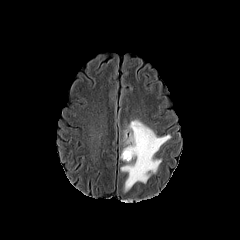
FLAIR MR image.
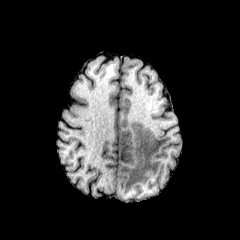
T1-weighted MRI.
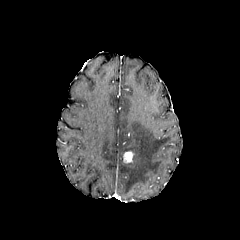
Post-contrast T1-weighted MR image.
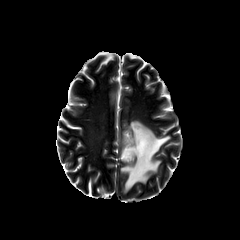
Same slice, T2-weighted MR.
Brain. 240x240 px.
peritumoral_edema:
  - region(120, 120, 170, 192)
enhancing_tumor:
  - region(123, 151, 134, 162)